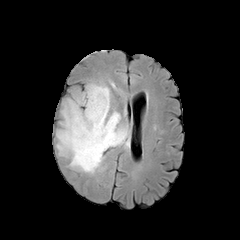
FLAIR MR.
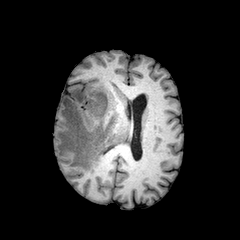
T1-weighted MRI.
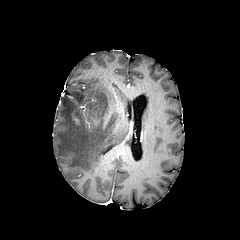
Post-contrast T1-weighted MR image.
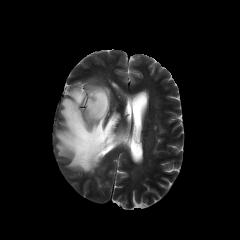
T2-weighted MR.
240x240 px. Brain.
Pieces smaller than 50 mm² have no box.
{
  "peritumoral_edema": [
    "region(56, 82, 128, 173)"
  ]
}